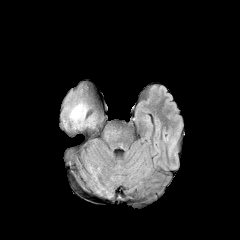
FLAIR magnetic resonance.
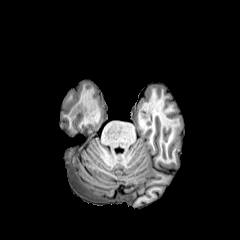
T1-weighted magnetic resonance.
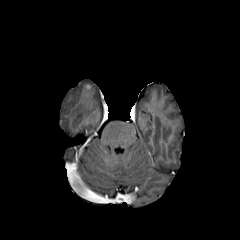
Post-contrast T1-weighted MR.
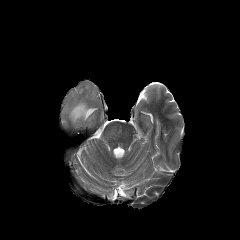
T2-weighted MR image of the same slice.
240x240
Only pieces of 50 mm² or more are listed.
peritumoral edema = <box>65,100,87,125</box>